Brain.
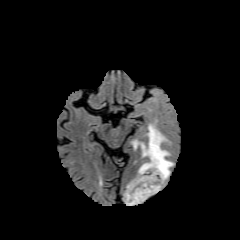
FLAIR MR image.
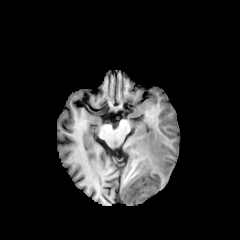
T1-weighted MRI of the same slice.
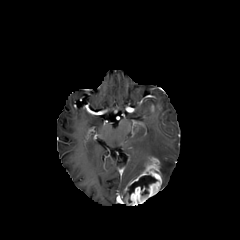
Same slice, post-contrast T1-weighted MRI.
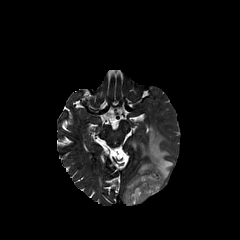
T2-weighted MRI.
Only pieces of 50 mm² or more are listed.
necrotic tumor core: left=127, top=175, right=156, bottom=195
peritumoral edema: left=134, top=163, right=144, bottom=178; left=131, top=123, right=173, bottom=187
enhancing tumor: left=124, top=156, right=162, bottom=205